Axial slice. Head.
FLAIR MR.
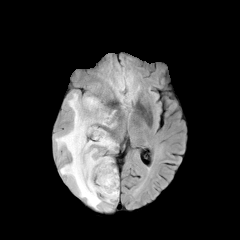
T1-weighted MRI.
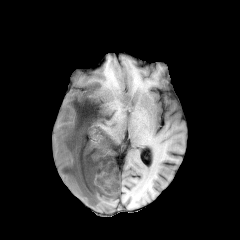
Post-contrast T1-weighted MR.
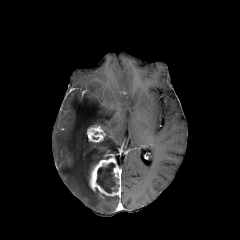
T2-weighted MR.
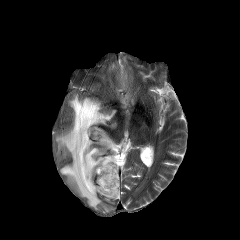
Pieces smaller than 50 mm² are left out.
peritumoral edema — region(55, 93, 118, 211)
necrotic tumor core — region(96, 163, 117, 193)
enhancing tumor — region(86, 125, 105, 142); region(89, 154, 120, 196)